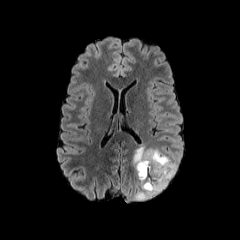
FLAIR magnetic resonance.
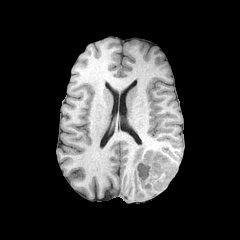
T1-weighted MR of the same slice.
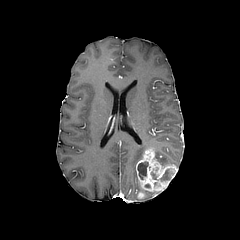
Post-contrast T1-weighted MR.
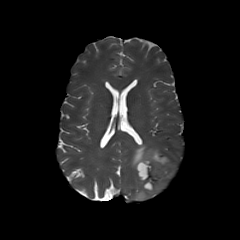
Same slice, T2-weighted MRI.
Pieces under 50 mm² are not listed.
The 2 largest necrotic tumor core regions appear at {"x1": 150, "y1": 167, "x2": 173, "y2": 181}, {"x1": 137, "y1": 161, "x2": 148, "y2": 179}. 2 enhancing tumor regions are located at {"x1": 137, "y1": 191, "x2": 145, "y2": 198}, {"x1": 136, "y1": 149, "x2": 177, "y2": 191}. 2 peritumoral edema regions are located at {"x1": 132, "y1": 144, "x2": 159, "y2": 200}, {"x1": 153, "y1": 149, "x2": 177, "y2": 168}.